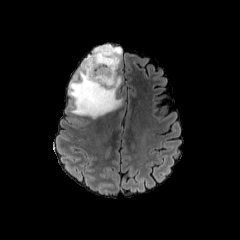
FLAIR MRI.
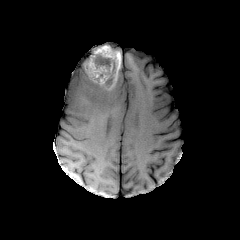
T1-weighted MRI.
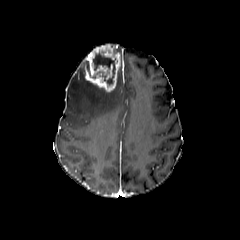
Same slice, post-contrast T1-weighted MR image.
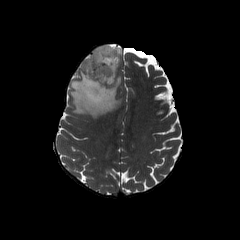
Same slice, T2-weighted MR image.
240x240
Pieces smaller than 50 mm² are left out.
enhancing tumor — [83, 44, 120, 92]
necrotic tumor core — [93, 52, 115, 84]
peritumoral edema — [69, 62, 122, 118]